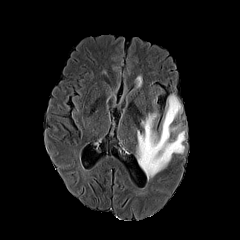
FLAIR MR image.
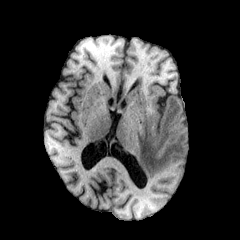
T1-weighted MRI of the same slice.
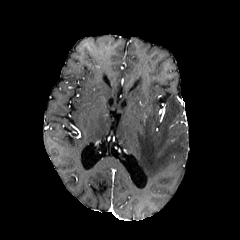
Post-contrast T1-weighted magnetic resonance of the same slice.
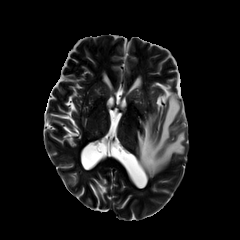
Same slice, T2-weighted magnetic resonance.
240x240 px
• peritumoral edema: 136,94,185,179